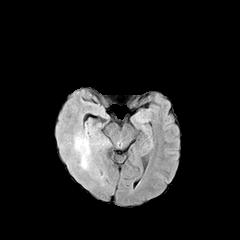
FLAIR MR.
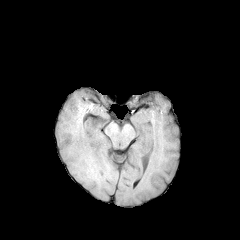
T1-weighted magnetic resonance.
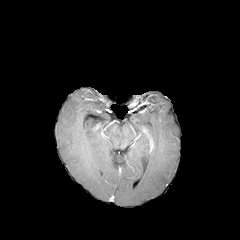
Same slice, post-contrast T1-weighted MR.
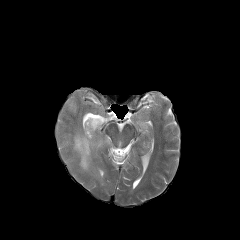
T2-weighted magnetic resonance.
Brain
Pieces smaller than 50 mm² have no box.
• peritumoral edema: 71 120 107 172